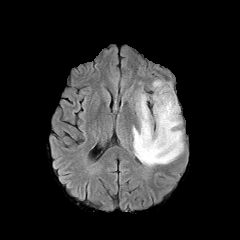
FLAIR MRI.
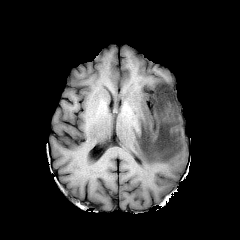
T1-weighted MR of the same slice.
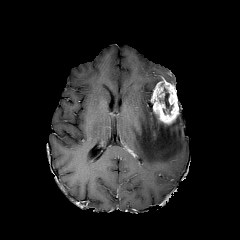
Post-contrast T1-weighted MR.
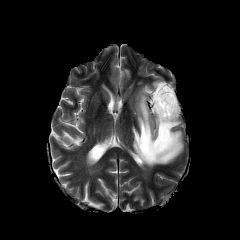
Same slice, T2-weighted magnetic resonance.
Axial view, Image size 240x240
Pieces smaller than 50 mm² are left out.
- necrotic tumor core: x1=164 y1=93 x2=172 y2=113
- enhancing tumor: x1=150 y1=79 x2=179 y2=124
- peritumoral edema: x1=132 y1=92 x2=183 y2=166